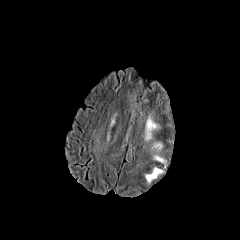
FLAIR magnetic resonance.
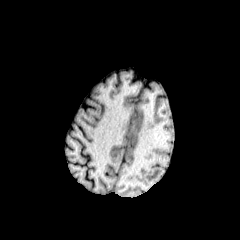
T1-weighted MR image of the same slice.
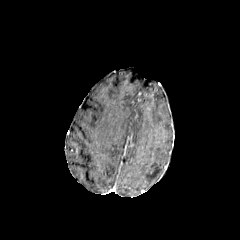
Post-contrast T1-weighted MRI.
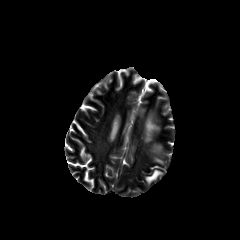
T2-weighted MRI.
Axial plane. Brain.
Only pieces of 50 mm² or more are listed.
The 2 largest peritumoral edema regions appear at (145,116,156,140), (145,168,162,183).